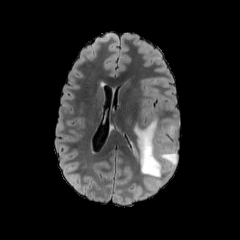
FLAIR magnetic resonance.
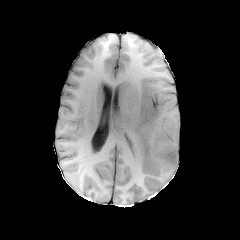
Same slice, T1-weighted MR.
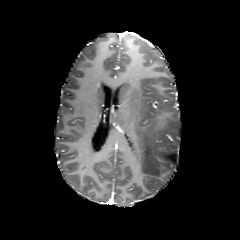
Post-contrast T1-weighted MR.
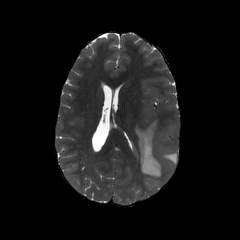
T2-weighted magnetic resonance.
Axial view | Brain
<segmentation>
  <peritumoral_edema>x1=159 y1=124 x2=176 y2=145, x1=134 y1=118 x2=177 y2=178</peritumoral_edema>
</segmentation>